FLAIR MR.
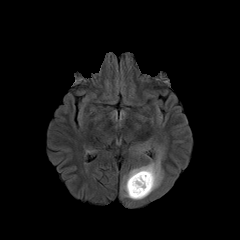
T1-weighted MRI.
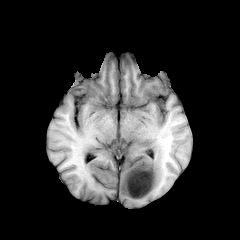
Post-contrast T1-weighted MR image.
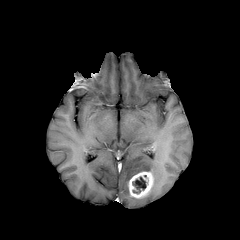
T2-weighted MR image.
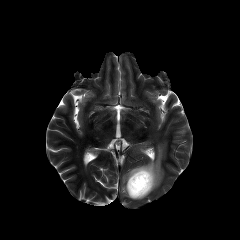
Brain.
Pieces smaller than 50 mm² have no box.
necrotic_tumor_core:
  - (132, 177, 146, 193)
enhancing_tumor:
  - (128, 171, 154, 198)
peritumoral_edema:
  - (121, 146, 163, 200)